Head; Slice 97/155; Axial view; Image width 240 mm
FLAIR MR.
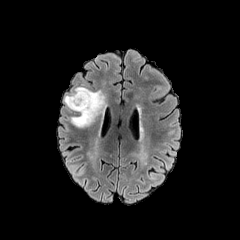
T1-weighted magnetic resonance.
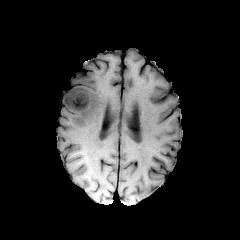
Post-contrast T1-weighted magnetic resonance.
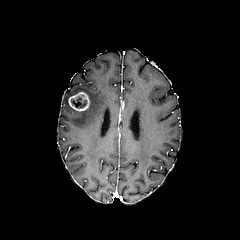
T2-weighted MR.
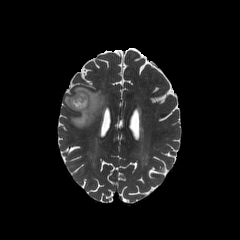
The necrotic tumor core is located at 71 98 85 107. The peritumoral edema is bounded by 63 86 105 127. The enhancing tumor lies within 68 91 90 111.